FLAIR MR.
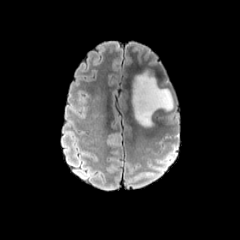
T1-weighted MRI.
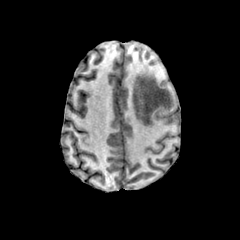
Post-contrast T1-weighted MR image.
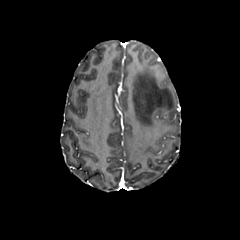
T2-weighted MR.
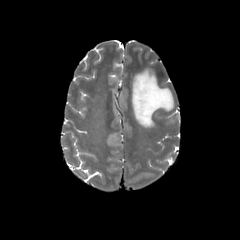
Brain. Axial plane.
The peritumoral edema is bounded by (x1=132, y1=70, x2=173, y2=127).